FLAIR MR image.
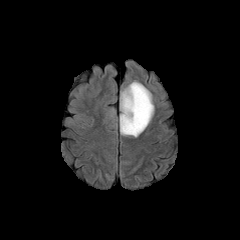
T1-weighted magnetic resonance.
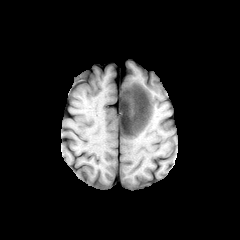
Post-contrast T1-weighted magnetic resonance.
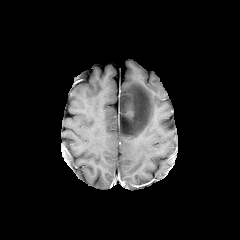
T2-weighted MRI.
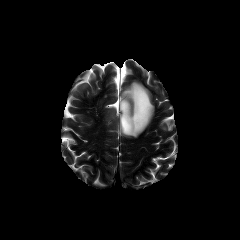
Image size 240x240; Head
{
  "peritumoral_edema": [
    "rect(120, 81, 154, 137)"
  ]
}